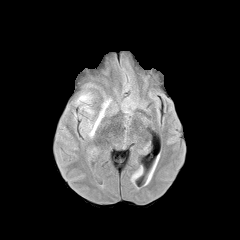
FLAIR MRI.
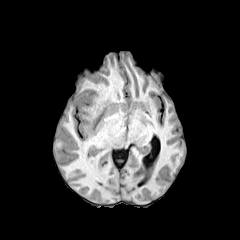
Same slice, T1-weighted magnetic resonance.
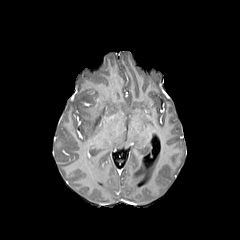
Post-contrast T1-weighted MRI.
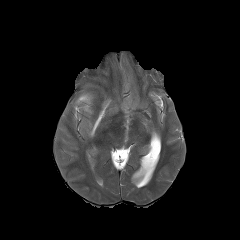
T2-weighted MRI.
Brain | Axial view
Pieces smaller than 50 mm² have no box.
peritumoral edema at 77:94:91:103, 89:99:110:136